Slice 76/155, Image covers 240 mm x 240 mm
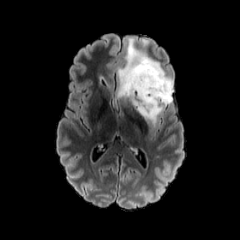
FLAIR MRI.
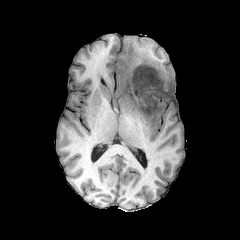
T1-weighted MR.
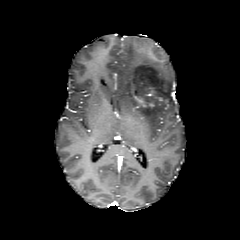
Post-contrast T1-weighted MRI.
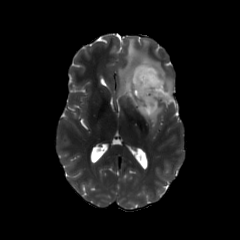
T2-weighted MR image.
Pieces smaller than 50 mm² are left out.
peritumoral_edema:
  - left=117, top=38, right=173, bottom=127
enhancing_tumor:
  - left=129, top=75, right=167, bottom=108